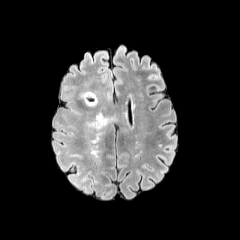
FLAIR MRI.
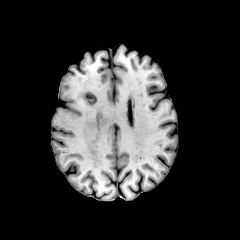
Same slice, T1-weighted MR image.
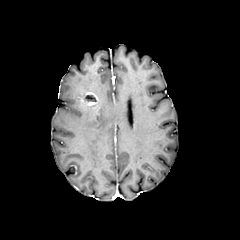
Post-contrast T1-weighted MR image of the same slice.
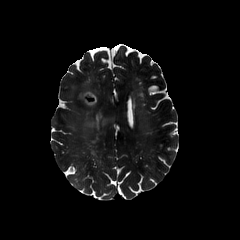
T2-weighted MRI.
Axial plane
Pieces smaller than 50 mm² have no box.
peritumoral edema: <box>77,81,92,100</box>, <box>85,113,115,128</box>
enhancing tumor: <box>80,92,97,105</box>
necrotic tumor core: <box>87,95,95,101</box>